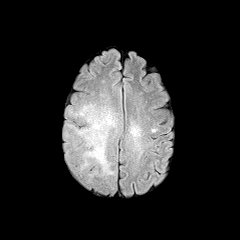
FLAIR MRI.
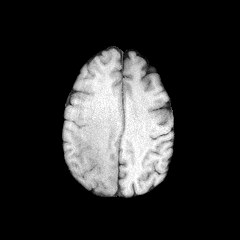
T1-weighted magnetic resonance.
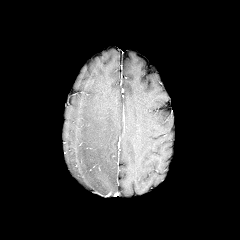
Same slice, post-contrast T1-weighted MR image.
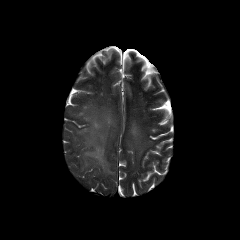
Same slice, T2-weighted MR.
Image size 240x240. Brain. Axial plane.
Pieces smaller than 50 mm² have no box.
peritumoral edema at (x1=129, y1=126, x2=139, y2=136), (x1=71, y1=103, x2=117, y2=176)